FLAIR MR image.
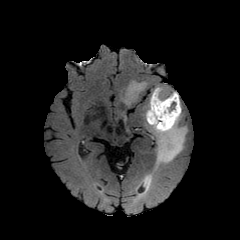
T1-weighted MR image.
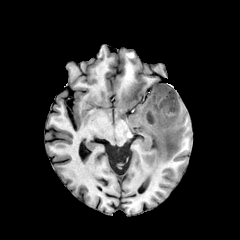
Post-contrast T1-weighted MR image.
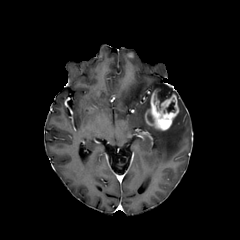
T2-weighted MR image.
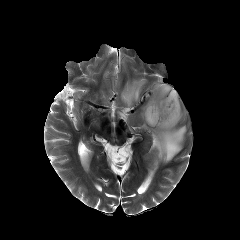
Brain | Image size 240x240
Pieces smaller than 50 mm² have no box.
• peritumoral edema: (x1=122, y1=81, x2=146, y2=105), (x1=154, y1=85, x2=171, y2=101), (x1=149, y1=92, x2=186, y2=170)
• necrotic tumor core: (x1=166, y1=102, x2=175, y2=112)
• enhancing tumor: (x1=145, y1=90, x2=178, y2=130)